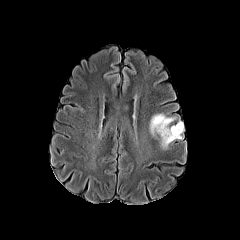
FLAIR MRI.
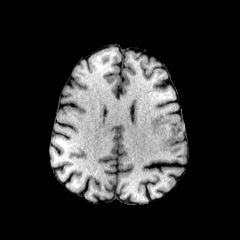
T1-weighted MR image.
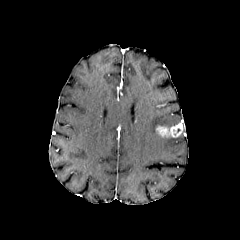
Post-contrast T1-weighted MRI.
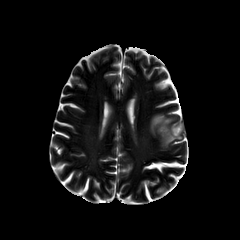
T2-weighted magnetic resonance.
Axial slice
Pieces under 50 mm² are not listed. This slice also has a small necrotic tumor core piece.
The enhancing tumor is bounded by <box>156,122,184,137</box>. 2 peritumoral edema regions are bounded by <box>149,113,175,136</box>, <box>160,135,182,149</box>.